FLAIR MRI.
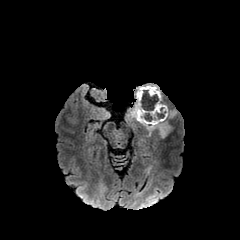
T1-weighted magnetic resonance.
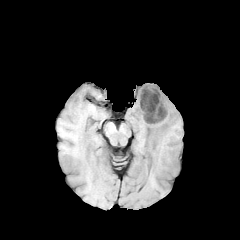
Post-contrast T1-weighted MR.
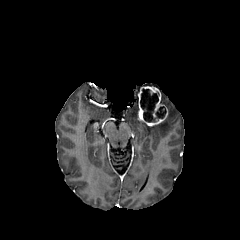
T2-weighted MR image.
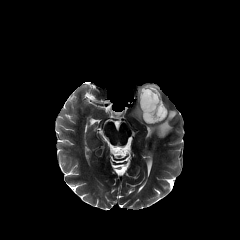
Brain; Image size 240x240
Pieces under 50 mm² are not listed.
{"necrotic_tumor_core": ["[143, 114, 155, 121]", "[140, 89, 158, 110]"], "enhancing_tumor": ["[138, 86, 168, 126]"], "peritumoral_edema": ["[127, 87, 176, 137]"]}